Slice index 62; Head
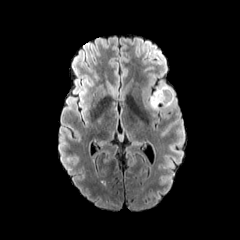
FLAIR MRI.
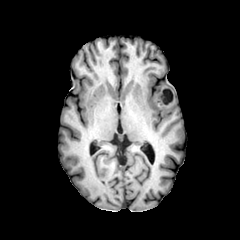
T1-weighted MR.
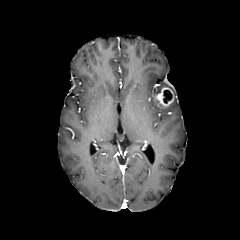
Post-contrast T1-weighted MR of the same slice.
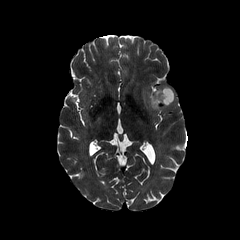
Same slice, T2-weighted magnetic resonance.
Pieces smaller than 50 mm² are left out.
enhancing tumor at (x1=155, y1=87, x2=174, y2=106)
peritumoral edema at (x1=150, y1=85, x2=168, y2=108)
necrotic tumor core at (x1=163, y1=90, x2=172, y2=103)